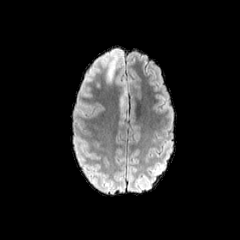
FLAIR MRI.
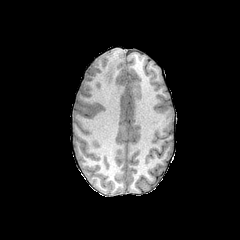
T1-weighted MR image.
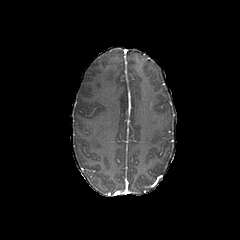
Same slice, post-contrast T1-weighted magnetic resonance.
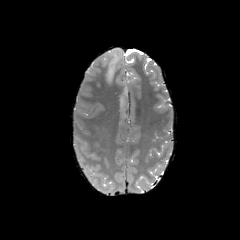
T2-weighted magnetic resonance of the same slice.
Axial plane | Head | Image size 240x240
peritumoral_edema:
  - (x1=101, y1=53, x2=117, y2=86)
  - (x1=118, y1=78, x2=135, y2=122)